Image size 240x240
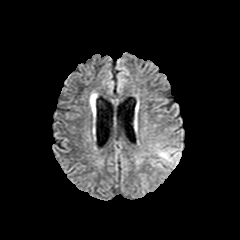
FLAIR MR image.
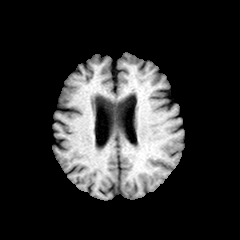
T1-weighted MR.
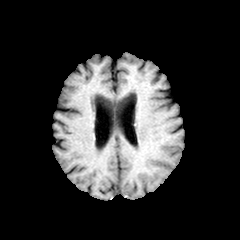
Post-contrast T1-weighted MRI.
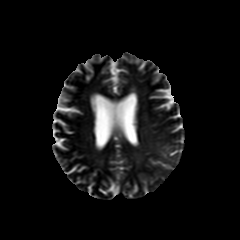
Same slice, T2-weighted MR.
peritumoral edema: [x1=157, y1=148, x2=179, y2=163]